Brain | Axial view
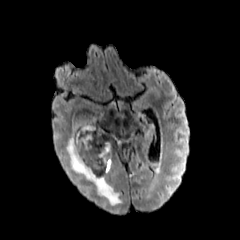
FLAIR magnetic resonance.
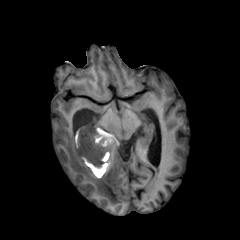
T1-weighted MRI.
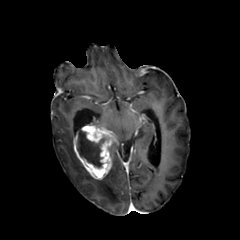
Same slice, post-contrast T1-weighted MR image.
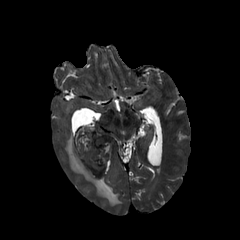
T2-weighted MR.
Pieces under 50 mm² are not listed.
{"enhancing_tumor": ["[x1=73, y1=123, x2=113, y2=179]"], "necrotic_tumor_core": ["[x1=77, y1=131, x2=106, y2=168]"], "peritumoral_edema": ["[x1=65, y1=127, x2=122, y2=205]"]}